Head; Slice 101/155; Image size 240x240; Axial slice
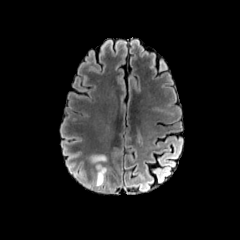
FLAIR MR.
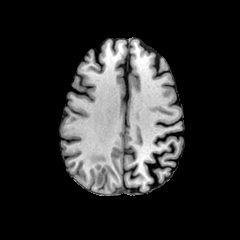
T1-weighted magnetic resonance.
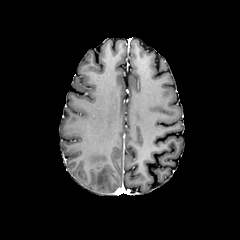
Post-contrast T1-weighted MR of the same slice.
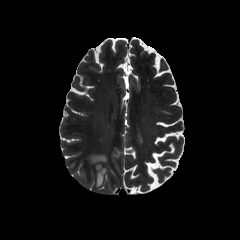
T2-weighted MRI.
peritumoral edema: bounding box region(90, 155, 105, 162); region(96, 164, 106, 186)